FLAIR MR.
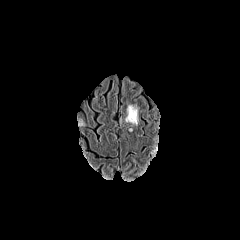
T1-weighted MR.
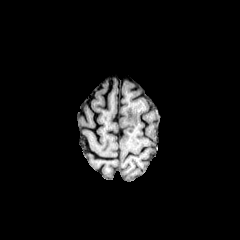
Post-contrast T1-weighted MRI.
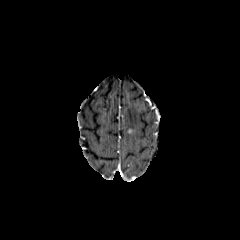
T2-weighted MR.
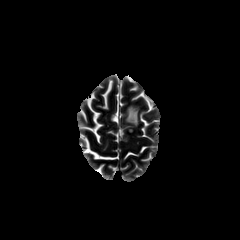
Brain
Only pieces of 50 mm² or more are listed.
peritumoral edema = x1=125, y1=105, x2=138, y2=125